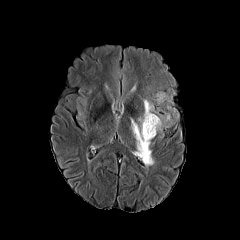
FLAIR magnetic resonance.
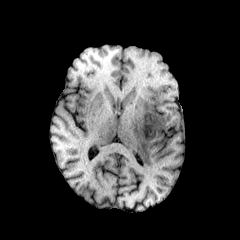
Same slice, T1-weighted MR.
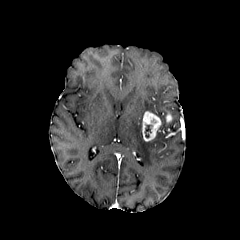
Same slice, post-contrast T1-weighted MR image.
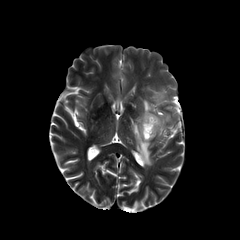
T2-weighted MR image of the same slice.
Head
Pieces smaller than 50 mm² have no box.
necrotic tumor core = 145, 125, 150, 137
peritumoral edema = 144, 100, 153, 112; 131, 117, 153, 166; 157, 93, 164, 101
enhancing tumor = 142, 111, 161, 141